Slice 38/155, Image size 240x240
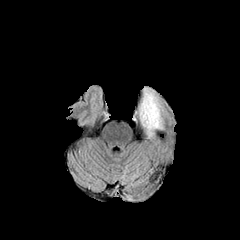
FLAIR MR image.
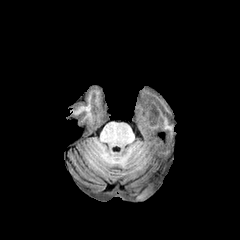
T1-weighted magnetic resonance of the same slice.
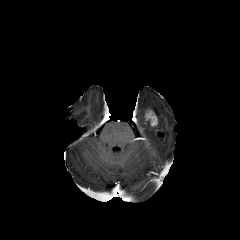
Post-contrast T1-weighted MR.
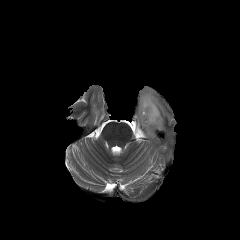
T2-weighted MR image of the same slice.
{
  "peritumoral_edema": [
    "rect(139, 89, 163, 137)"
  ],
  "enhancing_tumor": [
    "rect(144, 110, 157, 126)"
  ]
}